Slice index 68.
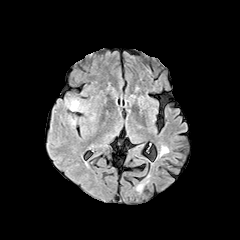
FLAIR MRI.
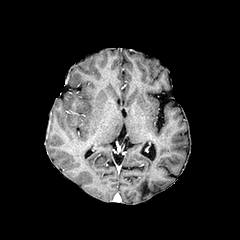
T1-weighted MRI.
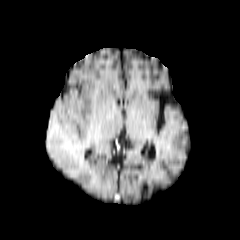
Post-contrast T1-weighted MR of the same slice.
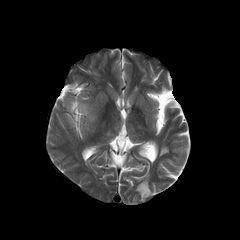
T2-weighted magnetic resonance.
* peritumoral edema: (x1=65, y1=98, x2=87, y2=112), (x1=68, y1=116, x2=77, y2=125)